FLAIR MRI.
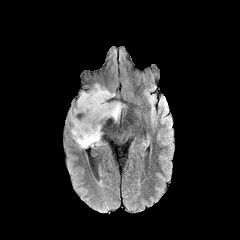
T1-weighted MR.
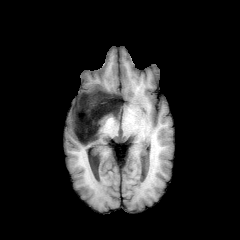
Post-contrast T1-weighted MRI.
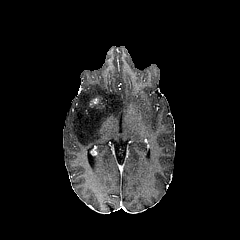
T2-weighted MR.
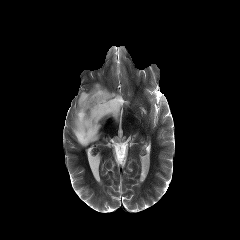
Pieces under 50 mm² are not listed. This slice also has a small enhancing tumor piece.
The peritumoral edema is at bbox(69, 83, 124, 148).